FLAIR MRI.
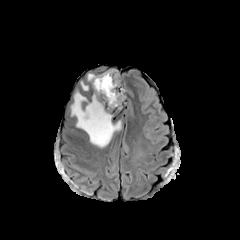
T1-weighted magnetic resonance.
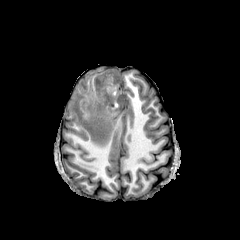
Post-contrast T1-weighted magnetic resonance.
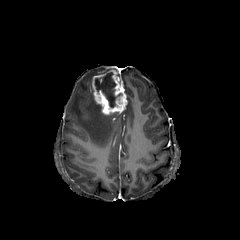
T2-weighted MR image.
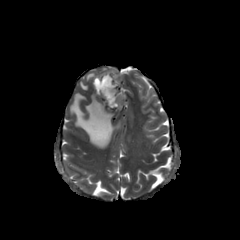
Axial slice | 240x240 px
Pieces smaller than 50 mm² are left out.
necrotic tumor core: bounding box {"x1": 95, "y1": 72, "x2": 121, "y2": 107}
peritumoral edema: bounding box {"x1": 87, "y1": 73, "x2": 95, "y2": 82}, {"x1": 70, "y1": 91, "x2": 121, "y2": 148}, {"x1": 80, "y1": 81, "x2": 88, "y2": 90}
enhancing tumor: bounding box {"x1": 92, "y1": 70, "x2": 127, "y2": 114}